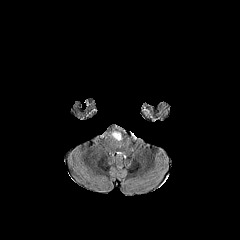
FLAIR MRI.
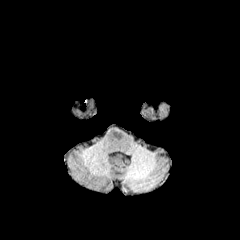
T1-weighted MRI of the same slice.
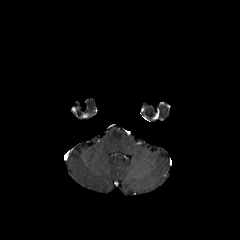
Post-contrast T1-weighted MR image of the same slice.
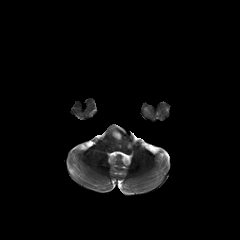
Same slice, T2-weighted magnetic resonance.
240x240 px.
Annotated regions:
• peritumoral edema: <bbox>112, 131, 121, 140</bbox>